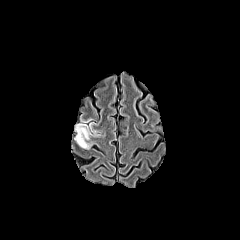
FLAIR MR image.
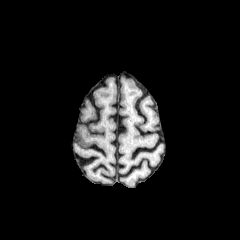
Same slice, T1-weighted MR image.
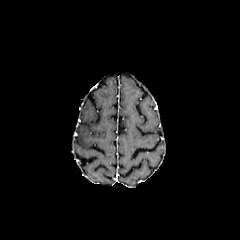
Post-contrast T1-weighted MR image.
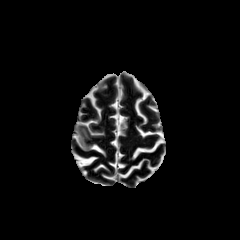
T2-weighted MR image.
240x240, Head, Axial view
<segmentation>
  <peritumoral_edema>left=76, top=123, right=95, bottom=149</peritumoral_edema>
</segmentation>